Brain
FLAIR MR.
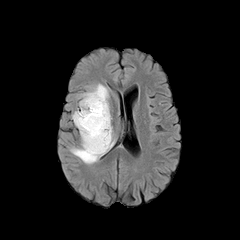
T1-weighted magnetic resonance.
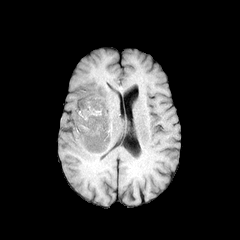
Post-contrast T1-weighted magnetic resonance.
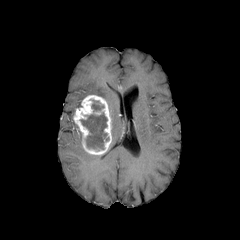
T2-weighted MRI.
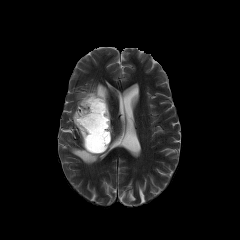
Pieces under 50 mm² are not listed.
peritumoral_edema:
  - rect(70, 131, 101, 164)
  - rect(77, 83, 109, 111)
  - rect(108, 126, 115, 150)
enhancing_tumor:
  - rect(73, 95, 111, 154)
necrotic_tumor_core:
  - rect(91, 100, 104, 112)
  - rect(80, 112, 109, 150)